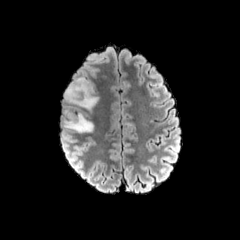
FLAIR magnetic resonance.
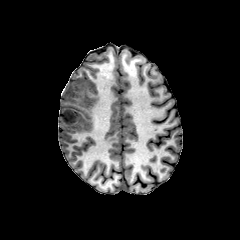
T1-weighted MRI.
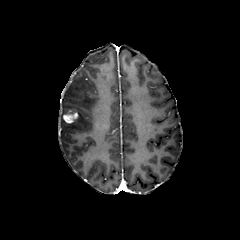
Same slice, post-contrast T1-weighted magnetic resonance.
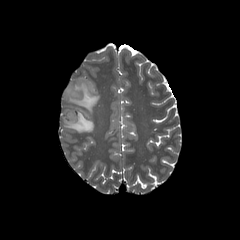
Same slice, T2-weighted MR image.
Brain, Axial slice
Findings:
- enhancing tumor: 63:109:78:123
- peritumoral edema: 62:77:98:132